FLAIR MR.
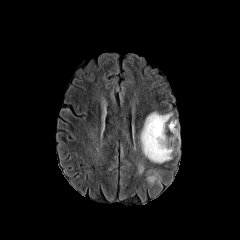
T1-weighted MR image.
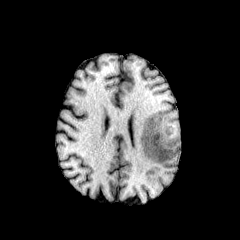
Post-contrast T1-weighted MRI.
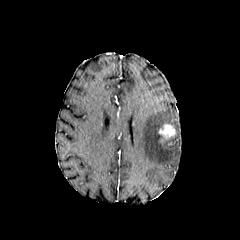
T2-weighted MR.
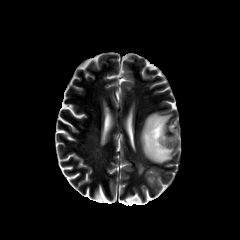
Brain
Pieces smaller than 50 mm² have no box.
enhancing_tumor:
  - 158:124:175:142
peritumoral_edema:
  - 146:168:160:185
  - 140:112:180:163